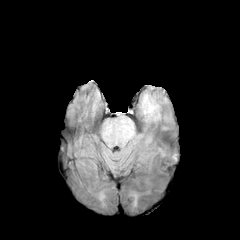
FLAIR magnetic resonance.
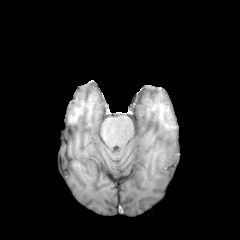
Same slice, T1-weighted magnetic resonance.
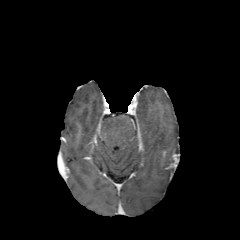
Post-contrast T1-weighted magnetic resonance of the same slice.
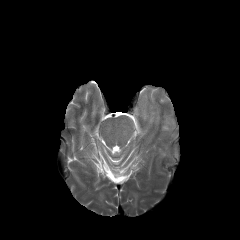
Same slice, T2-weighted magnetic resonance.
240x240
peritumoral edema: bbox(159, 147, 179, 166); bbox(141, 95, 158, 119)